Brain | Axial plane | Image covers 240 mm x 240 mm
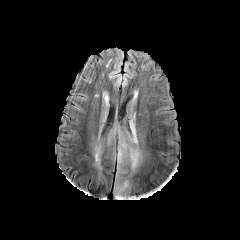
FLAIR magnetic resonance.
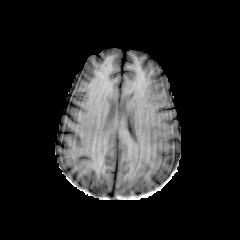
T1-weighted MR image.
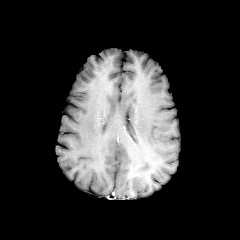
Same slice, post-contrast T1-weighted MRI.
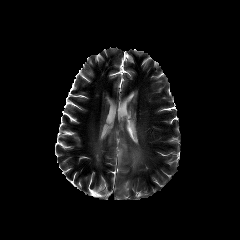
T2-weighted MRI.
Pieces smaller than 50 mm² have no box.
The 3 largest peritumoral edema regions are located at bbox=[130, 148, 138, 167]; bbox=[118, 147, 122, 161]; bbox=[131, 126, 137, 143].